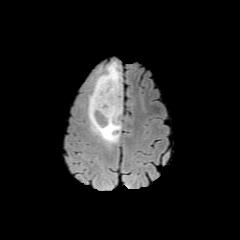
FLAIR MR image.
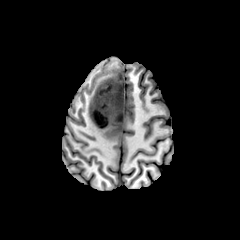
T1-weighted MR image.
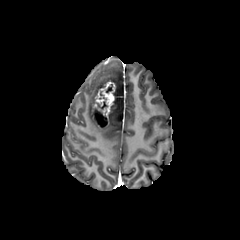
Post-contrast T1-weighted MR image.
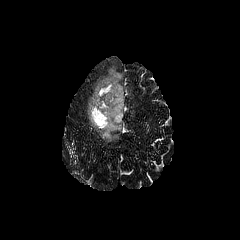
T2-weighted magnetic resonance of the same slice.
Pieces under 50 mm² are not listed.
<segmentation>
  <necrotic_tumor_core>x1=95 y1=100 x2=107 y2=109, x1=93 y1=108 x2=107 y2=126</necrotic_tumor_core>
  <peritumoral_edema>x1=88 y1=61 x2=122 y2=145</peritumoral_edema>
  <enhancing_tumor>x1=91 y1=82 x2=115 y2=127</enhancing_tumor>
</segmentation>